240x240 px, Brain, Axial plane, Slice index 61
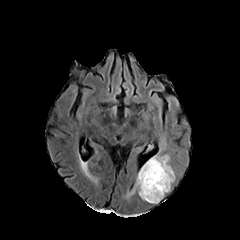
FLAIR MR image.
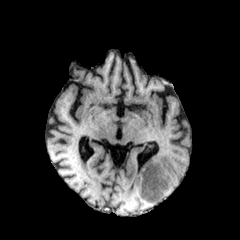
T1-weighted MR.
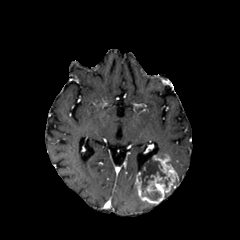
Post-contrast T1-weighted MR of the same slice.
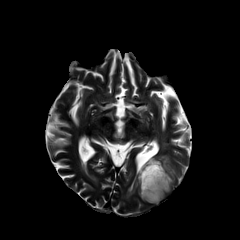
T2-weighted MR image of the same slice.
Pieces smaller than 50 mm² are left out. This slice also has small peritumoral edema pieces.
{"necrotic_tumor_core": ["(x1=147, y1=192, x2=160, y2=200)", "(x1=139, y1=159, x2=170, y2=196)"], "enhancing_tumor": ["(x1=135, y1=155, x2=175, y2=203)"]}